FLAIR MR.
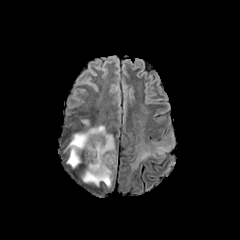
T1-weighted MRI.
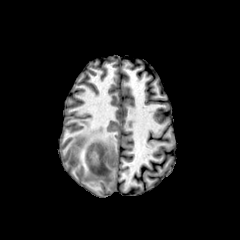
Post-contrast T1-weighted MR.
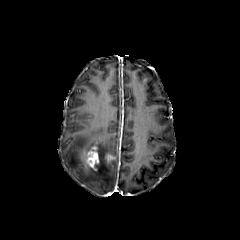
T2-weighted MR image.
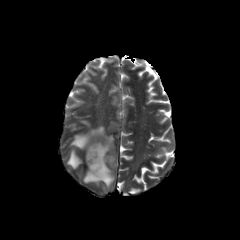
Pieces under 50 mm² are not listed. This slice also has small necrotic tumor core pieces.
peritumoral edema: [64, 125, 116, 187] | enhancing tumor: [86, 142, 99, 170], [105, 154, 115, 162]